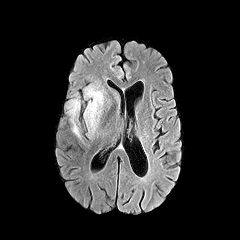
FLAIR MR.
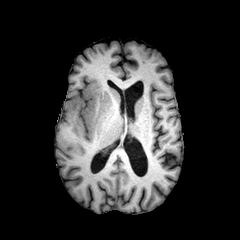
T1-weighted magnetic resonance.
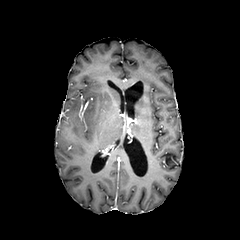
Post-contrast T1-weighted MR of the same slice.
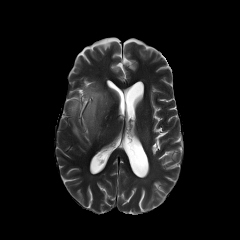
T2-weighted MR image of the same slice.
Head, Image size 240x240
2 peritumoral edema regions are located at x1=84, y1=85, x2=104, y2=132; x1=68, y1=97, x2=80, y2=137.